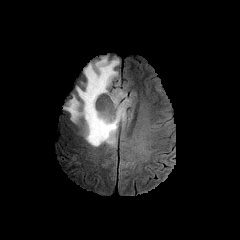
FLAIR MRI.
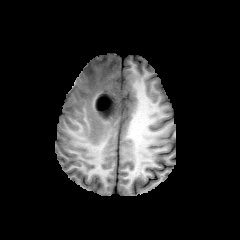
Same slice, T1-weighted magnetic resonance.
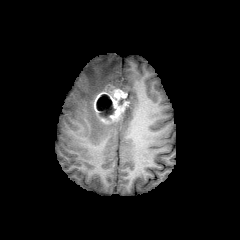
Post-contrast T1-weighted MR image.
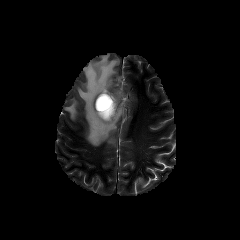
T2-weighted MRI of the same slice.
240x240 px
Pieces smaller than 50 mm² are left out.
enhancing tumor: rect(94, 88, 129, 123)
peritumoral edema: rect(64, 55, 126, 146)
necrotic tumor core: rect(96, 94, 114, 120)